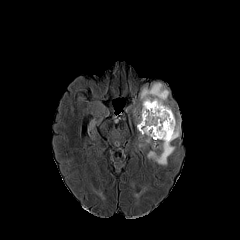
FLAIR magnetic resonance.
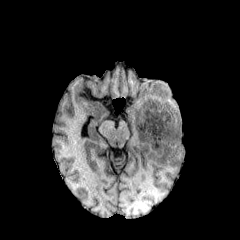
Same slice, T1-weighted MR image.
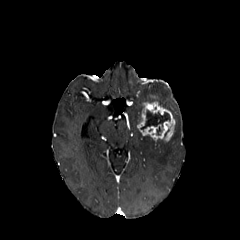
Post-contrast T1-weighted MR.
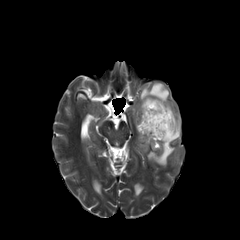
T2-weighted MR image of the same slice.
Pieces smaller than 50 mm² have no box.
The largest necrotic tumor core region lies within x1=141 y1=110 x2=170 y2=129. The enhancing tumor lies within x1=137 y1=101 x2=175 y2=141. The largest peritumoral edema region is at x1=133 y1=82 x2=180 y2=165.